240x240 px. Slice 128/155. Axial view.
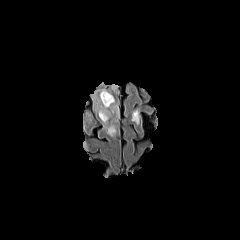
FLAIR MR image.
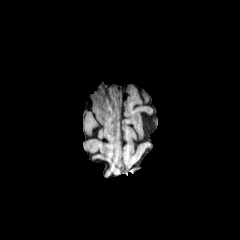
Same slice, T1-weighted magnetic resonance.
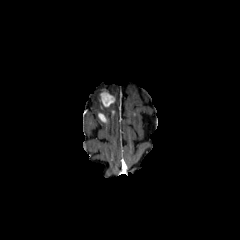
Post-contrast T1-weighted MR.
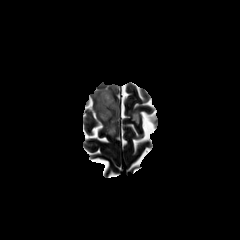
Same slice, T2-weighted MR image.
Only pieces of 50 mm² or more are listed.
<segmentation>
  <enhancing_tumor>[99, 90, 114, 106], [98, 113, 106, 122]</enhancing_tumor>
  <peritumoral_edema>[111, 84, 118, 93], [131, 109, 140, 125], [91, 88, 119, 136]</peritumoral_edema>
</segmentation>